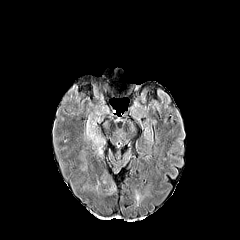
FLAIR MR.
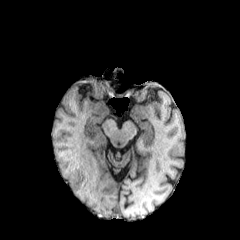
T1-weighted MR image.
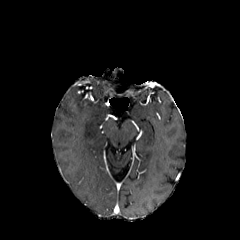
Same slice, post-contrast T1-weighted MRI.
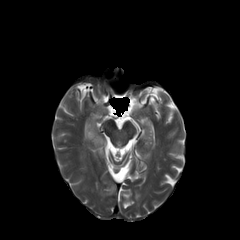
T2-weighted MRI.
Axial view. 240x240 px. Brain.
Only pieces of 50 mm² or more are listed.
<segmentation>
  <peritumoral_edema><box>86,115,104,144</box></peritumoral_edema>
</segmentation>